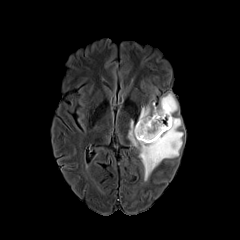
FLAIR MR.
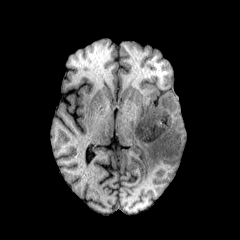
Same slice, T1-weighted MR.
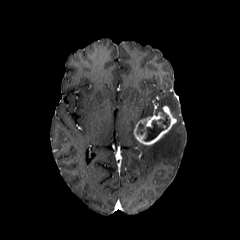
Post-contrast T1-weighted magnetic resonance of the same slice.
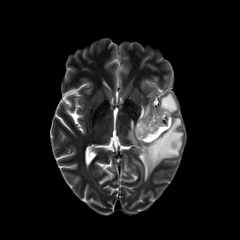
T2-weighted magnetic resonance.
Head; Axial view; 240x240 px
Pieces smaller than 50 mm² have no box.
peritumoral_edema:
  - [155, 93, 178, 115]
  - [128, 117, 183, 181]
  - [138, 105, 154, 120]
necrotic_tumor_core:
  - [137, 112, 169, 141]
enhancing_tumor:
  - [134, 106, 176, 145]